FLAIR MR.
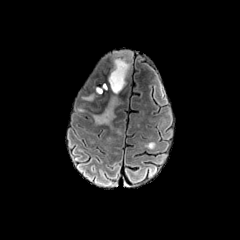
T1-weighted MRI.
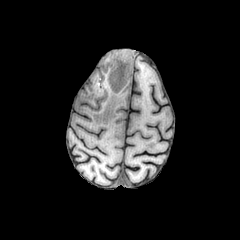
Post-contrast T1-weighted MRI.
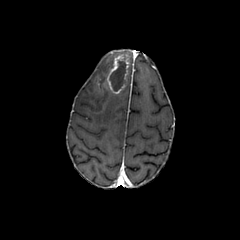
T2-weighted MR.
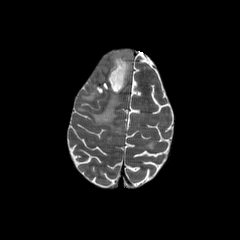
240x240 px | Axial view
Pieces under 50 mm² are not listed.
{"enhancing_tumor": ["box(107, 51, 130, 93)"], "necrotic_tumor_core": ["box(110, 61, 126, 91)"], "peritumoral_edema": ["box(82, 94, 94, 100)", "box(96, 83, 109, 94)", "box(92, 93, 122, 124)"]}